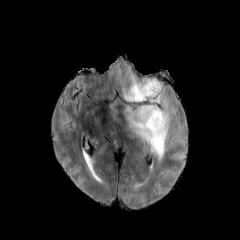
FLAIR magnetic resonance.
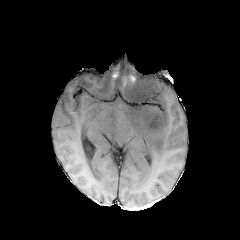
Same slice, T1-weighted MRI.
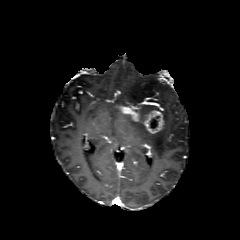
Post-contrast T1-weighted MR image.
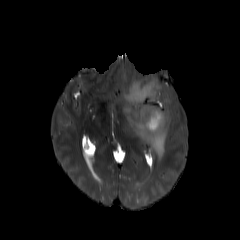
T2-weighted MR image of the same slice.
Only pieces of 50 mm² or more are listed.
{
  "enhancing_tumor": [
    "(x1=120, y1=107, x2=139, y2=121)",
    "(x1=143, y1=110, x2=165, y2=133)"
  ],
  "necrotic_tumor_core": [
    "(x1=150, y1=116, x2=159, y2=128)"
  ],
  "peritumoral_edema": [
    "(x1=120, y1=74, x2=171, y2=159)"
  ]
}